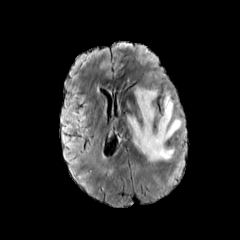
FLAIR MRI.
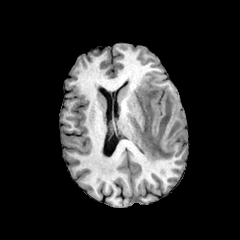
T1-weighted MRI.
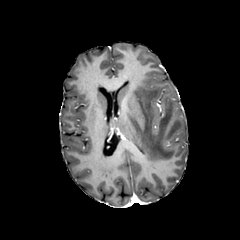
Post-contrast T1-weighted MRI of the same slice.
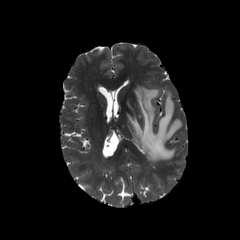
T2-weighted magnetic resonance.
Head | Axial view
peritumoral edema at (127, 86, 182, 161)